Brain; Slice 127 of 155
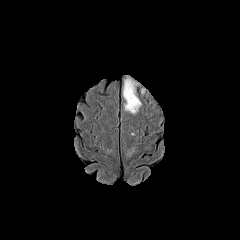
FLAIR MR.
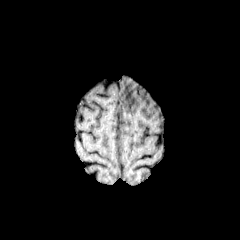
T1-weighted magnetic resonance.
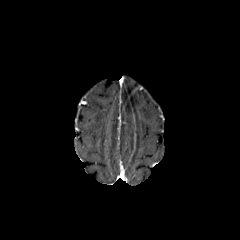
Same slice, post-contrast T1-weighted MR.
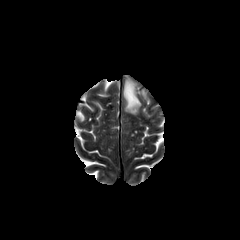
T2-weighted MR of the same slice.
{"peritumoral_edema": ["left=123, top=79, right=141, bottom=113"]}